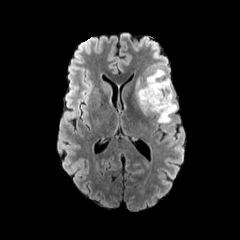
FLAIR magnetic resonance.
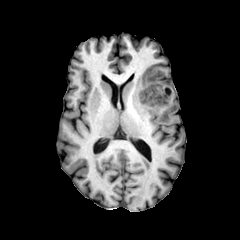
T1-weighted MR.
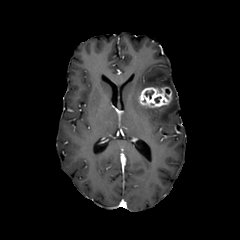
Post-contrast T1-weighted MR.
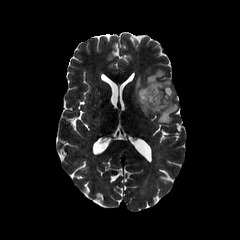
T2-weighted MRI.
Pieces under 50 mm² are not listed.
enhancing tumor at left=138, top=86, right=172, bottom=107
peritumoral edema at left=134, top=69, right=177, bottom=122
necrotic tumor core at left=144, top=89, right=154, bottom=100